Brain
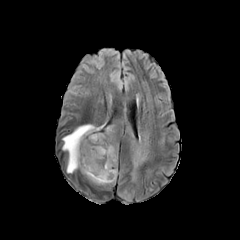
FLAIR magnetic resonance.
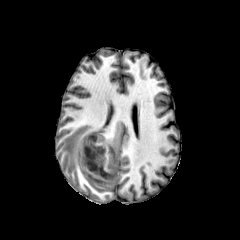
T1-weighted MR image.
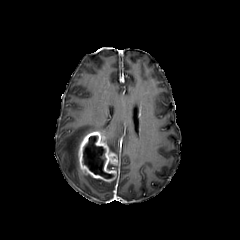
Same slice, post-contrast T1-weighted MR image.
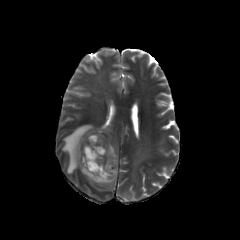
Same slice, T2-weighted MR.
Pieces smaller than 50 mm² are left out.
Findings:
• necrotic tumor core: left=83, top=136, right=113, bottom=178
• peritumoral edema: left=102, top=125, right=122, bottom=152; left=62, top=124, right=104, bottom=173; left=133, top=150, right=144, bottom=169; left=87, top=175, right=115, bottom=185
• enhancing tumor: left=78, top=131, right=118, bottom=182